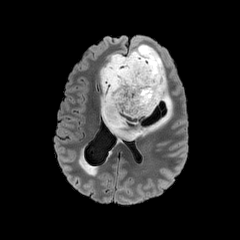
FLAIR MRI.
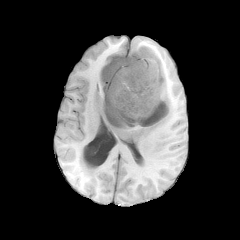
T1-weighted MR.
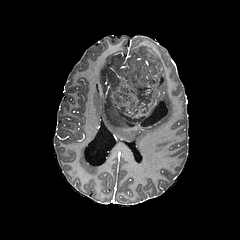
Post-contrast T1-weighted MR.
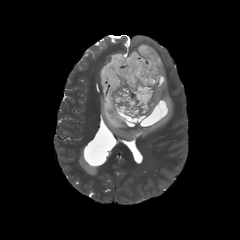
Same slice, T2-weighted MRI.
Axial slice; Head
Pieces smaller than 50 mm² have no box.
{"necrotic_tumor_core": ["102:55:169:128"], "peritumoral_edema": ["99:44:172:140"]}